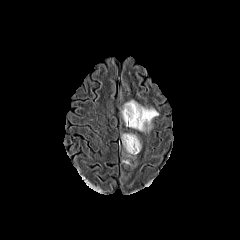
FLAIR MR image.
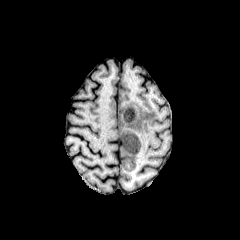
T1-weighted MR image.
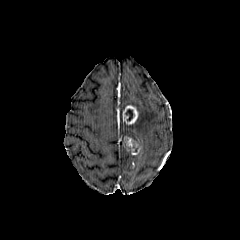
Post-contrast T1-weighted magnetic resonance.
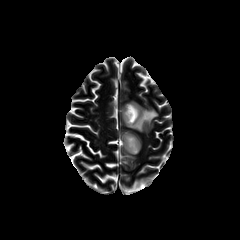
T2-weighted magnetic resonance.
240x240 px. Brain. Axial view.
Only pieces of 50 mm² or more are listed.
Annotated regions:
* enhancing tumor: rect(122, 105, 139, 125); rect(123, 136, 141, 154)
* necrotic tumor core: rect(126, 109, 133, 120)
* peritumoral edema: rect(122, 133, 138, 142); rect(124, 100, 158, 131)